FLAIR magnetic resonance.
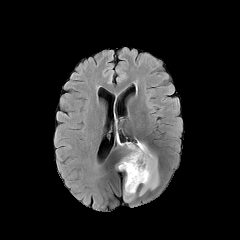
T1-weighted MR.
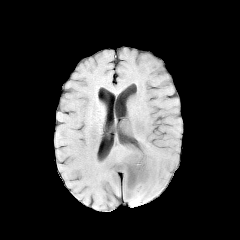
Post-contrast T1-weighted MR.
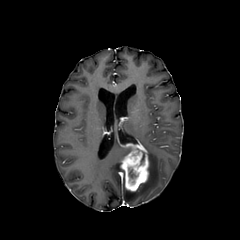
T2-weighted MR image.
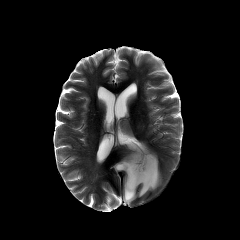
240x240
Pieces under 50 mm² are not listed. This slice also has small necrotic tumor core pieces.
The enhancing tumor is located at [120, 137, 149, 191]. The 2 largest peritumoral edema regions appear at [138, 143, 159, 196], [123, 184, 136, 202].